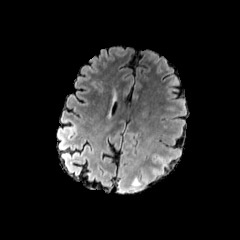
FLAIR MR.
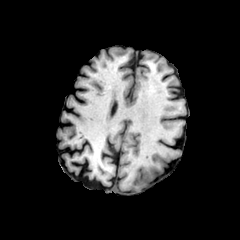
T1-weighted magnetic resonance.
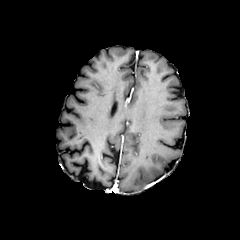
Post-contrast T1-weighted MR image of the same slice.
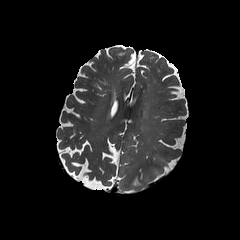
Same slice, T2-weighted MR.
Axial slice | Head
peritumoral edema — box=[132, 177, 141, 186]